FLAIR MR.
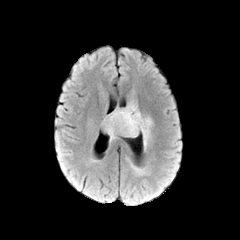
T1-weighted MR image.
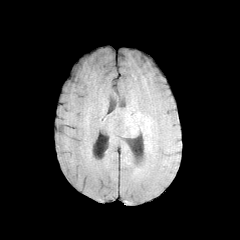
Post-contrast T1-weighted magnetic resonance.
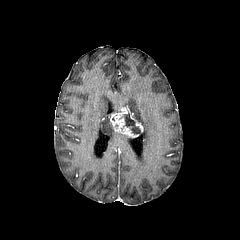
T2-weighted MR image.
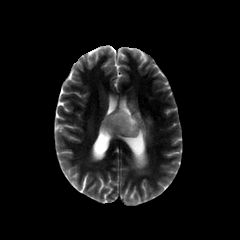
Axial view, Image size 240x240, Brain
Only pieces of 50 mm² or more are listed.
Segmented structures:
* necrotic tumor core: <box>124,113,140,134</box>
* enhancing tumor: <box>109,107,143,137</box>
* peritumoral edema: <box>127,103,151,148</box>, <box>102,114,118,140</box>